FLAIR MR image.
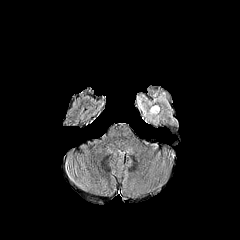
T1-weighted MRI.
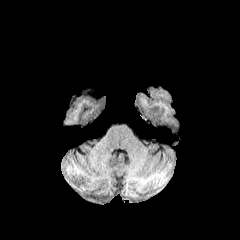
Post-contrast T1-weighted MR image.
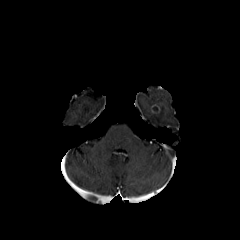
T2-weighted MRI.
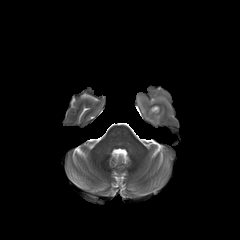
Axial slice; 240x240 px
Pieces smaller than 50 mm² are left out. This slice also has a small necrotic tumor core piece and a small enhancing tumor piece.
The peritumoral edema is bounded by x1=138 y1=98 x2=159 y2=122.